FLAIR MRI.
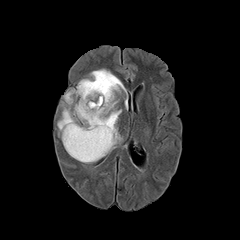
T1-weighted magnetic resonance.
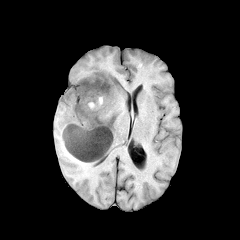
Post-contrast T1-weighted magnetic resonance.
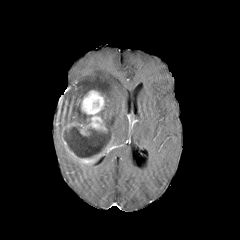
T2-weighted MRI.
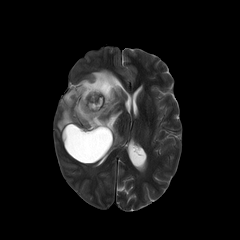
Axial plane. Image size 240x240. Head.
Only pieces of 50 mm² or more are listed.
<segmentation>
  <necrotic_tumor_core>box=[65, 128, 110, 156]</necrotic_tumor_core>
  <peritumoral_edema>box=[57, 69, 126, 148]</peritumoral_edema>
  <enhancing_tumor>box=[61, 90, 113, 164]</enhancing_tumor>
</segmentation>